Image width 240 mm, 1.00 mm slice spacing, Brain
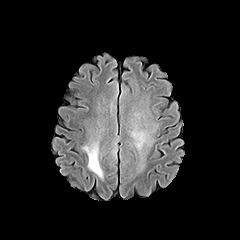
FLAIR MRI.
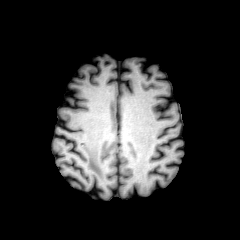
T1-weighted MR of the same slice.
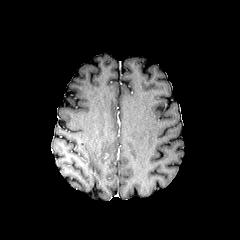
Same slice, post-contrast T1-weighted MR.
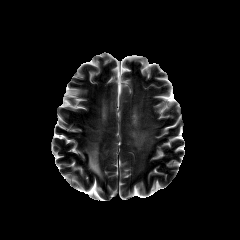
T2-weighted magnetic resonance.
The peritumoral edema appears at bbox(83, 142, 103, 178).